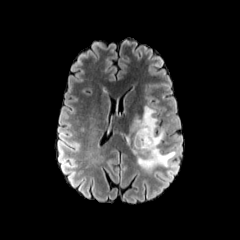
FLAIR magnetic resonance.
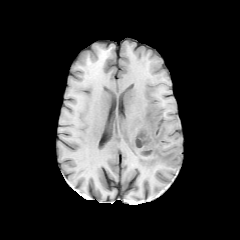
T1-weighted MR of the same slice.
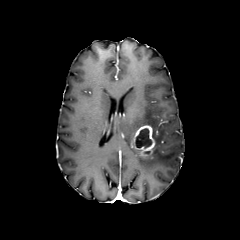
Post-contrast T1-weighted MR of the same slice.
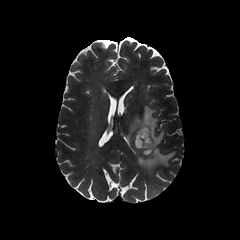
Same slice, T2-weighted MRI.
Brain; Axial view
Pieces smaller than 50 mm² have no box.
• necrotic tumor core: x1=135 y1=128 x2=152 y2=149
• enhancing tumor: x1=133 y1=125 x2=155 y2=156
• peritumoral edema: x1=120 y1=106 x2=176 y2=174